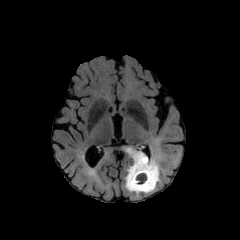
FLAIR magnetic resonance.
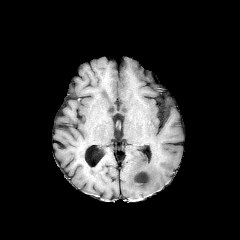
T1-weighted MR.
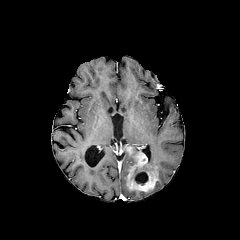
Post-contrast T1-weighted MR image.
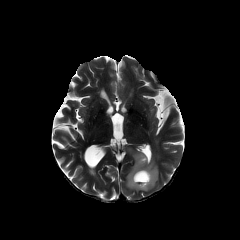
Same slice, T2-weighted MR image.
Brain
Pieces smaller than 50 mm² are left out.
enhancing tumor: x1=127, y1=152, x2=158, y2=191
peritumoral edema: x1=125, y1=159, x2=160, y2=194; x1=129, y1=148, x2=141, y2=165
necrotic tumor core: x1=134, y1=171, x2=148, y2=183